FLAIR MR image.
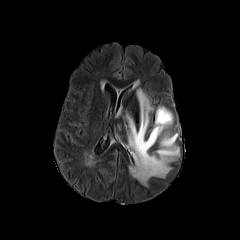
T1-weighted magnetic resonance.
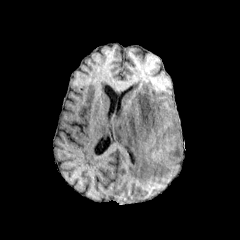
Post-contrast T1-weighted MRI.
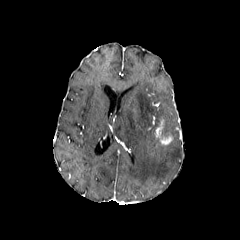
T2-weighted MR image.
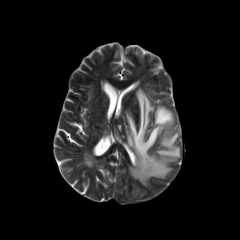
Axial slice; Head
peritumoral edema: bbox(126, 88, 179, 185) | enhancing tumor: bbox(160, 136, 172, 145); bbox(155, 119, 163, 137)